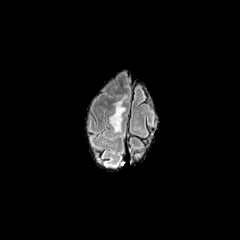
FLAIR magnetic resonance.
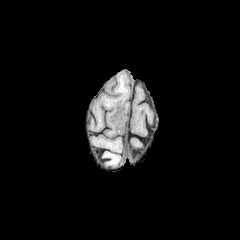
T1-weighted MR.
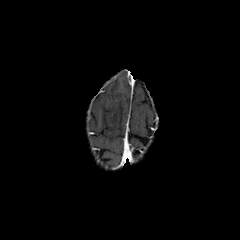
Post-contrast T1-weighted magnetic resonance.
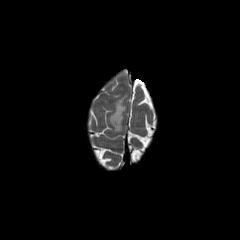
T2-weighted MR.
Image size 240x240; Brain
The peritumoral edema lies within box=[109, 98, 125, 132].